FLAIR magnetic resonance.
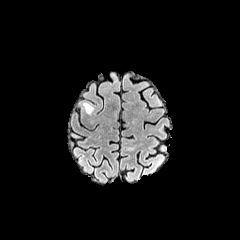
T1-weighted MR.
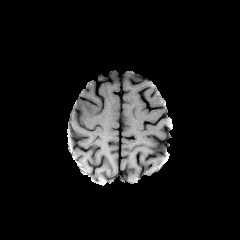
Post-contrast T1-weighted magnetic resonance.
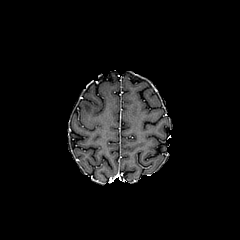
T2-weighted MR.
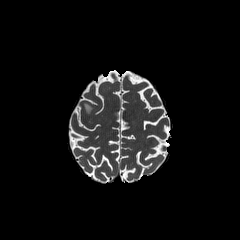
240x240 px
- peritumoral edema: [83,103,92,113]